Slice 95/155 | Image covers 240 mm x 240 mm
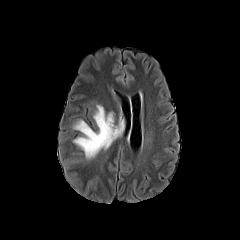
FLAIR MR.
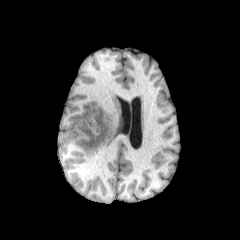
Same slice, T1-weighted MRI.
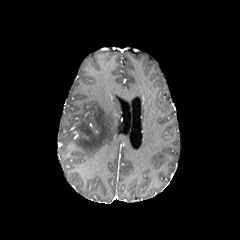
Post-contrast T1-weighted MR image of the same slice.
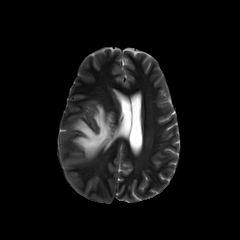
T2-weighted magnetic resonance.
peritumoral edema at x1=74, y1=105, x2=123, y2=158